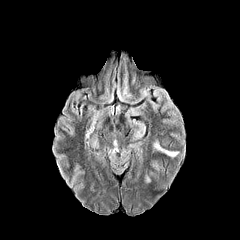
FLAIR MR.
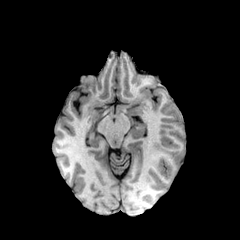
T1-weighted MRI.
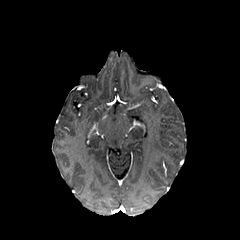
Same slice, post-contrast T1-weighted MRI.
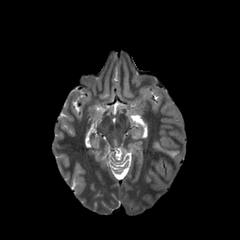
T2-weighted MR of the same slice.
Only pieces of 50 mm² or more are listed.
{"peritumoral_edema": ["x1=153, y1=141, x2=178, y2=156"]}